Axial view. Head. Image covers 240 mm x 240 mm.
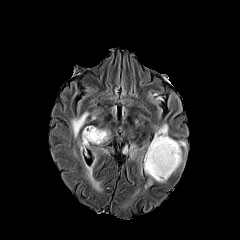
FLAIR MRI.
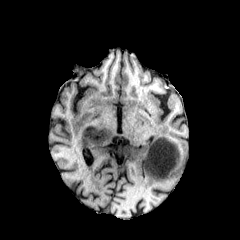
Same slice, T1-weighted magnetic resonance.
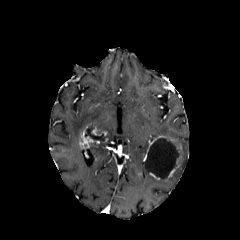
Post-contrast T1-weighted MR.
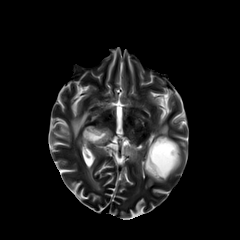
T2-weighted MR.
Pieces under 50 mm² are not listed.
The 2 largest necrotic tumor core regions appear at {"x1": 85, "y1": 126, "x2": 106, "y2": 141}, {"x1": 144, "y1": 138, "x2": 180, "y2": 179}. The 7 largest peritumoral edema regions are located at {"x1": 71, "y1": 112, "x2": 88, "y2": 137}, {"x1": 96, "y1": 127, "x2": 110, "y2": 140}, {"x1": 122, "y1": 142, "x2": 137, "y2": 158}, {"x1": 86, "y1": 143, "x2": 113, "y2": 191}, {"x1": 154, "y1": 124, "x2": 168, "y2": 137}, {"x1": 144, "y1": 176, "x2": 155, "y2": 188}, {"x1": 174, "y1": 140, "x2": 187, "y2": 157}. The 4 largest enhancing tumor regions appear at {"x1": 143, "y1": 135, "x2": 166, "y2": 161}, {"x1": 168, "y1": 155, "x2": 181, "y2": 177}, {"x1": 79, "y1": 126, "x2": 99, "y2": 148}, {"x1": 91, "y1": 127, "x2": 106, "y2": 135}.